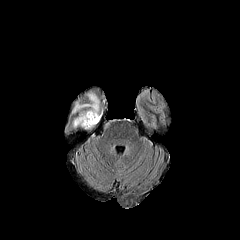
FLAIR MRI.
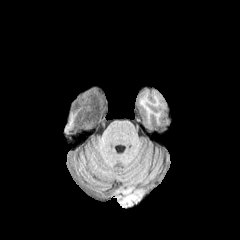
T1-weighted MR image.
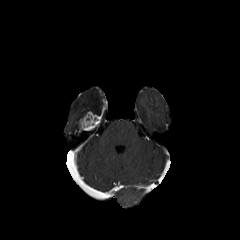
Same slice, post-contrast T1-weighted magnetic resonance.
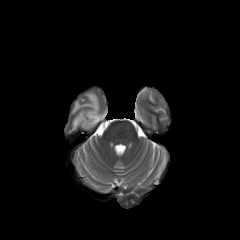
T2-weighted magnetic resonance.
Head | 240x240 px | Axial slice
peritumoral edema — (x1=72, y1=92, x2=101, y2=127)
enhancing tumor — (x1=76, y1=111, x2=101, y2=130)